FLAIR MR.
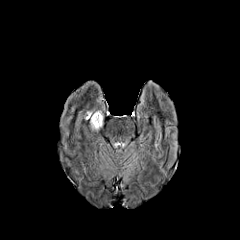
T1-weighted MRI.
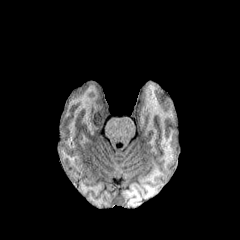
Post-contrast T1-weighted MR.
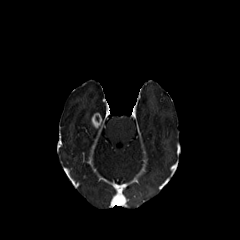
T2-weighted magnetic resonance.
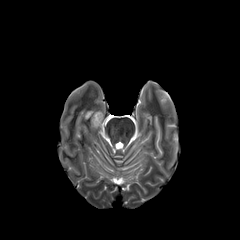
Head; 240x240 px; Axial view
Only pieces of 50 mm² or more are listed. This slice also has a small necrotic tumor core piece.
The enhancing tumor is at [91, 113, 102, 128]. The largest peritumoral edema region appears at [86, 111, 102, 119].